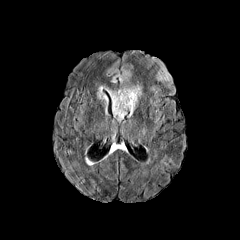
FLAIR MRI.
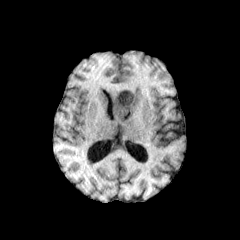
T1-weighted magnetic resonance.
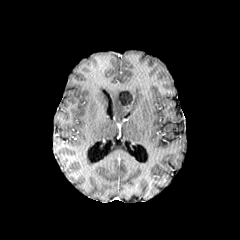
Post-contrast T1-weighted MR of the same slice.
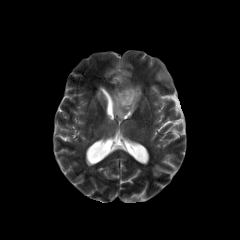
T2-weighted magnetic resonance of the same slice.
Brain
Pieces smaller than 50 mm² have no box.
necrotic_tumor_core:
  - (left=115, top=90, right=131, bottom=105)
enhancing_tumor:
  - (left=113, top=87, right=135, bottom=108)
peritumoral_edema:
  - (left=106, top=59, right=133, bottom=84)
  - (left=97, top=83, right=143, bottom=121)